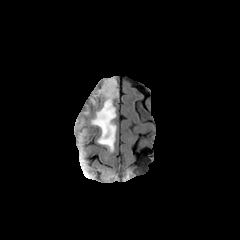
FLAIR MR image.
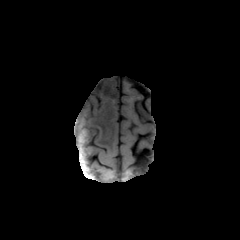
T1-weighted magnetic resonance.
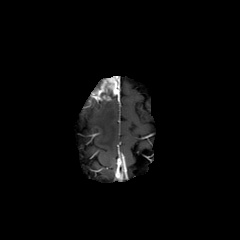
Post-contrast T1-weighted MR of the same slice.
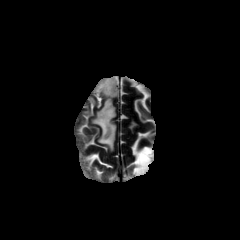
T2-weighted MR image.
Axial slice. Head. Image size 240x240.
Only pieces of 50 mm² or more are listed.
The largest peritumoral edema region is bounded by [x1=90, y1=97, x2=118, y2=152]. The enhancing tumor lies within [x1=90, y1=76, x2=119, y2=102].